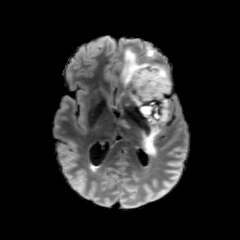
FLAIR MR.
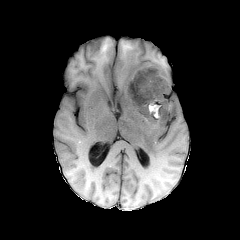
T1-weighted magnetic resonance of the same slice.
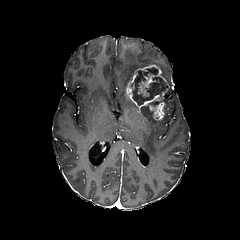
Post-contrast T1-weighted magnetic resonance.
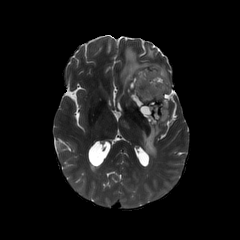
T2-weighted magnetic resonance of the same slice.
Axial plane.
{
  "enhancing_tumor": [
    "box(126, 64, 168, 121)"
  ],
  "peritumoral_edema": [
    "box(142, 99, 168, 156)",
    "box(145, 44, 155, 58)",
    "box(121, 47, 170, 90)"
  ],
  "necrotic_tumor_core": [
    "box(141, 106, 155, 122)",
    "box(132, 67, 167, 105)"
  ]
}